Image width 240 mm; Slice 34/155; Head
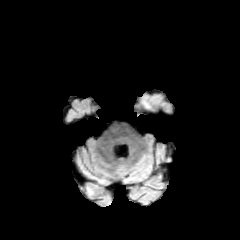
FLAIR magnetic resonance.
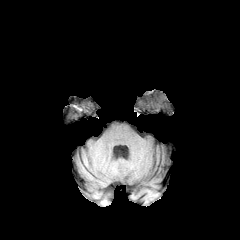
Same slice, T1-weighted magnetic resonance.
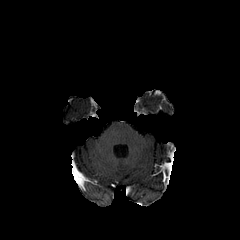
Post-contrast T1-weighted MRI.
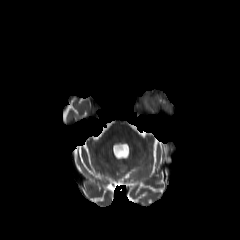
Same slice, T2-weighted MR image.
{
  "peritumoral_edema": [
    "box(142, 97, 154, 108)"
  ]
}